FLAIR magnetic resonance.
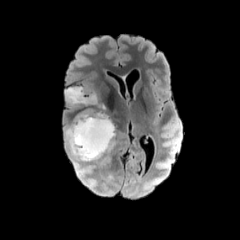
T1-weighted MR.
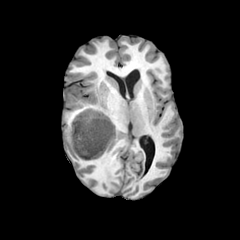
Post-contrast T1-weighted magnetic resonance.
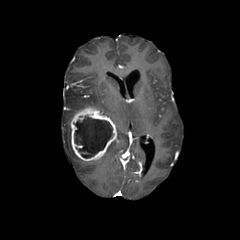
T2-weighted magnetic resonance.
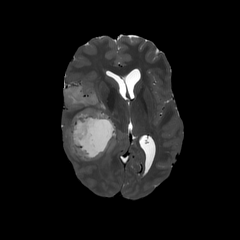
240x240 | Axial plane | Brain
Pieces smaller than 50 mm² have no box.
Segmented structures:
• enhancing tumor: x1=71 y1=107 x2=116 y2=161
• necrotic tumor core: x1=74 y1=117 x2=112 y2=158
• peritumoral edema: x1=66 y1=124 x2=75 y2=155, x1=66 y1=87 x2=97 y2=105